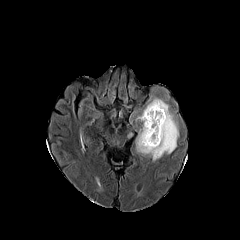
FLAIR MR image.
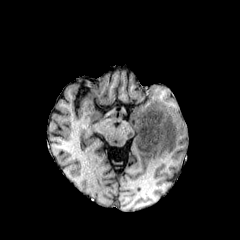
Same slice, T1-weighted MRI.
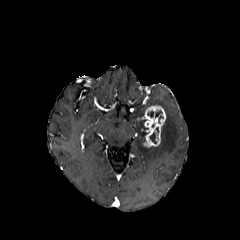
Post-contrast T1-weighted MR.
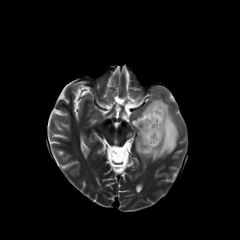
T2-weighted MR.
Axial view
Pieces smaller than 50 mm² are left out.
The enhancing tumor is at region(141, 105, 165, 147). The largest peritumoral edema region lies within region(135, 96, 179, 161). The 2 largest necrotic tumor core regions are bounded by region(150, 132, 156, 143); region(155, 110, 163, 123).